Slice 68 of 155; Axial plane; Brain
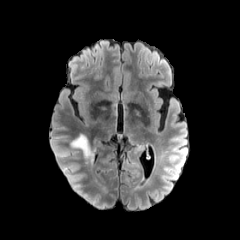
FLAIR magnetic resonance.
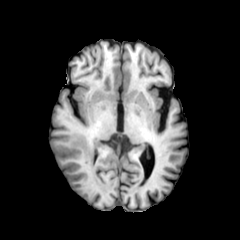
Same slice, T1-weighted MRI.
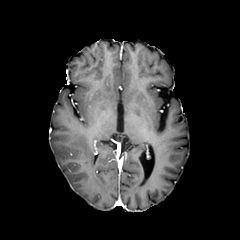
Post-contrast T1-weighted MRI of the same slice.
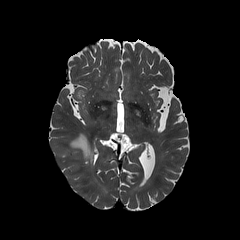
T2-weighted MR.
peritumoral_edema:
  - 71 135 91 157